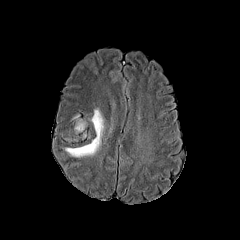
FLAIR MRI.
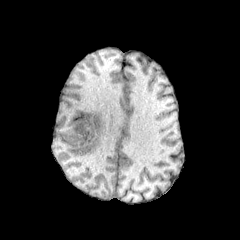
T1-weighted magnetic resonance.
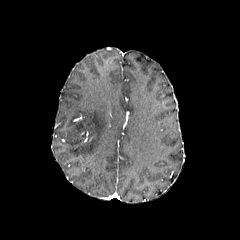
Same slice, post-contrast T1-weighted MR.
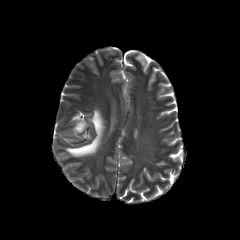
T2-weighted MR image.
Axial slice
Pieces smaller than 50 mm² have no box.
The 2 largest peritumoral edema regions are bounded by {"x1": 65, "y1": 109, "x2": 104, "y2": 157}, {"x1": 75, "y1": 121, "x2": 85, "y2": 131}.